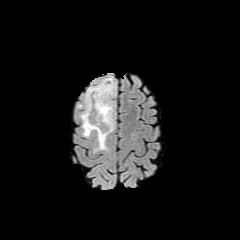
FLAIR MR image.
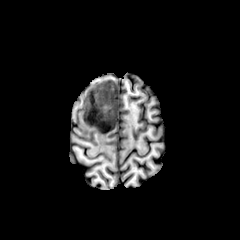
T1-weighted MR image of the same slice.
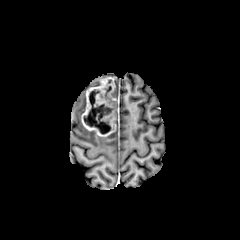
Post-contrast T1-weighted MR image.
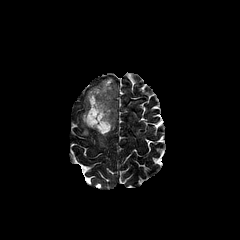
Same slice, T2-weighted MR image.
Brain; Axial view
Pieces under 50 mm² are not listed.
necrotic tumor core: left=83, top=90, right=111, bottom=134 | peritumoral edema: left=94, top=135, right=108, bottom=151; left=81, top=124, right=94, bottom=136 | enhancing tumor: left=81, top=77, right=116, bottom=136